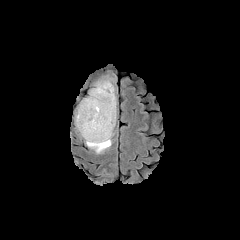
FLAIR magnetic resonance.
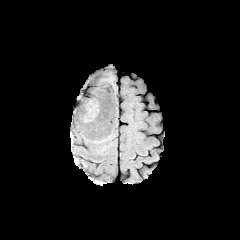
T1-weighted MR.
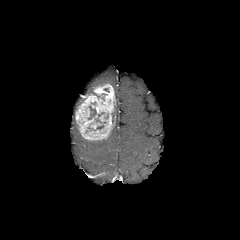
Post-contrast T1-weighted MR.
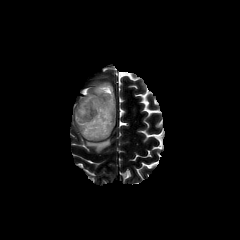
Same slice, T2-weighted MRI.
Head; Image size 240x240; Axial plane
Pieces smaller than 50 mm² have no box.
The largest necrotic tumor core region lies within <box>88,106,96,119</box>. The enhancing tumor lies within <box>75,83,115,140</box>. The 2 largest peritumoral edema regions are located at <box>86,95,116,153</box>, <box>94,80,111,86</box>.